FLAIR magnetic resonance.
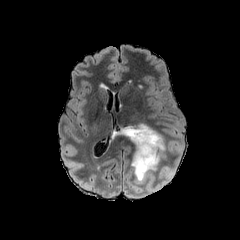
T1-weighted MR.
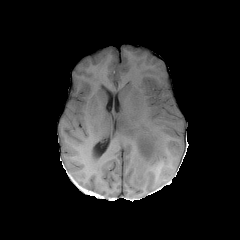
Post-contrast T1-weighted MRI.
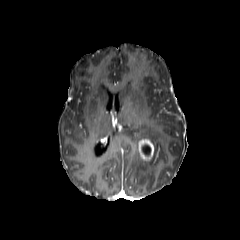
T2-weighted MR.
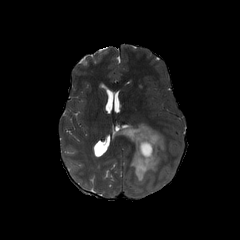
The peritumoral edema appears at <bbox>110, 123, 165, 182</bbox>. The necrotic tumor core is bounded by <bbox>142, 144, 151, 155</bbox>. The enhancing tumor is bounded by <bbox>138, 138, 154, 160</bbox>.